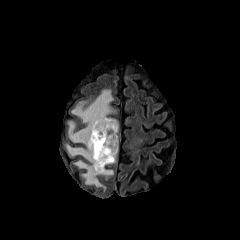
FLAIR magnetic resonance.
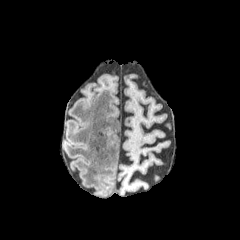
T1-weighted MRI.
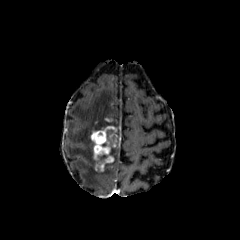
Post-contrast T1-weighted MR image.
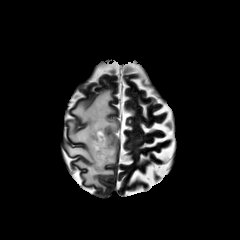
T2-weighted MR image.
Axial view, Image size 240x240, Brain
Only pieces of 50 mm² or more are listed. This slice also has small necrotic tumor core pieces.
enhancing_tumor:
  - (left=90, top=125, right=119, bottom=171)
peritumoral_edema:
  - (left=65, top=89, right=114, bottom=191)
  - (left=105, top=143, right=117, bottom=165)